Axial slice. Image covers 240 mm x 240 mm. Slice 121 of 155.
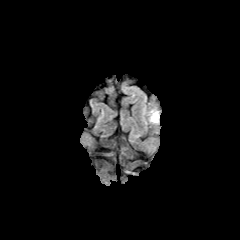
FLAIR MR.
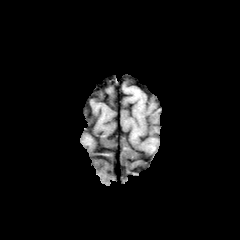
Same slice, T1-weighted MRI.
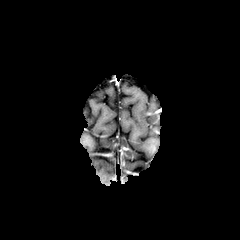
Post-contrast T1-weighted MR image.
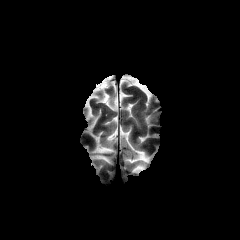
T2-weighted MRI.
peritumoral_edema:
  - x1=151 y1=113 x2=157 y2=121